Brain, Image width 240 mm, Axial view
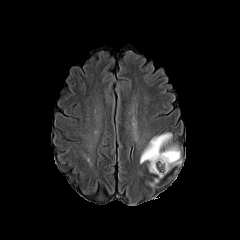
FLAIR magnetic resonance.
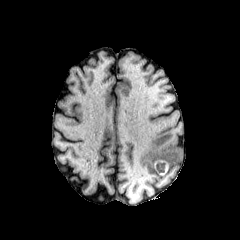
T1-weighted MRI of the same slice.
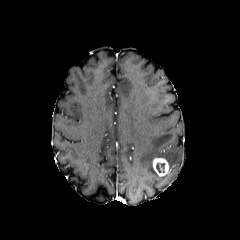
Post-contrast T1-weighted MR of the same slice.
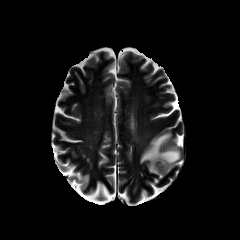
T2-weighted MR image.
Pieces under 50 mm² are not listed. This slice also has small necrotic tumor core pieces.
Annotated regions:
- peritumoral edema: (left=140, top=132, right=181, bottom=173)
- enhancing tumor: (left=152, top=158, right=169, bottom=176)